Image covers 240 mm x 240 mm; Slice 34/155
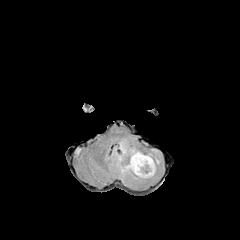
FLAIR MR.
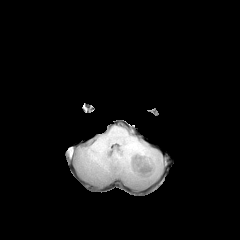
T1-weighted MR.
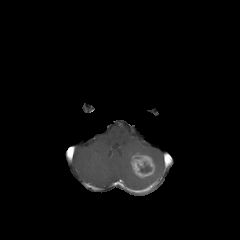
Post-contrast T1-weighted MRI.
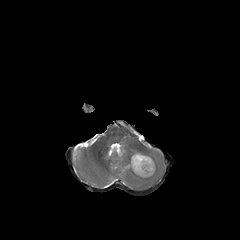
T2-weighted MR.
Annotated regions:
- peritumoral edema: [x1=112, y1=140, x2=161, y2=184]
- enhancing tumor: [x1=130, y1=153, x2=155, y2=178]
- necrotic tumor core: [x1=141, y1=166, x2=150, y2=172]